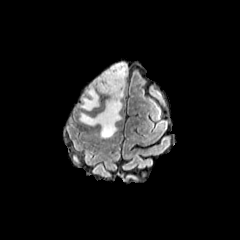
FLAIR MR.
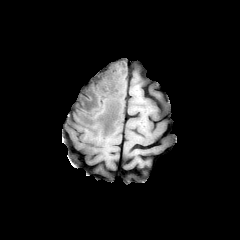
T1-weighted MR image of the same slice.
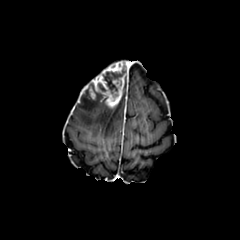
Post-contrast T1-weighted MR.
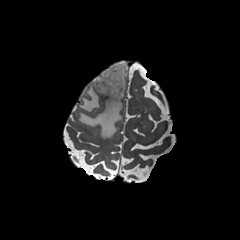
T2-weighted magnetic resonance.
Head. 240x240 px. Axial plane.
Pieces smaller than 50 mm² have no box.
enhancing tumor: [x1=85, y1=61, x2=128, y2=108] | peritumoral edema: [x1=79, y1=89, x2=100, y2=111], [x1=79, y1=100, x2=122, y2=137] | necrotic tumor core: [x1=101, y1=73, x2=121, y2=93]